FLAIR MRI.
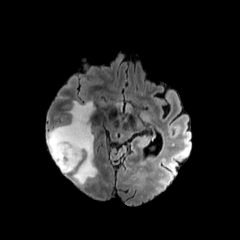
T1-weighted MR image.
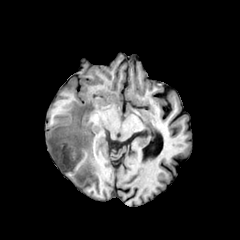
Post-contrast T1-weighted magnetic resonance.
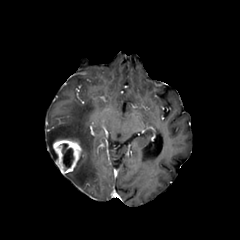
T2-weighted MR.
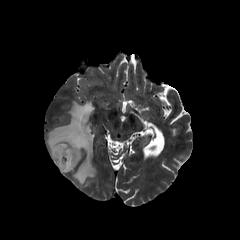
Brain
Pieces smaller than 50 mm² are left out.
enhancing tumor at 53,139,81,173
necrotic tumor core at 62,144,73,168
peritumoral edema at 47,101,96,185